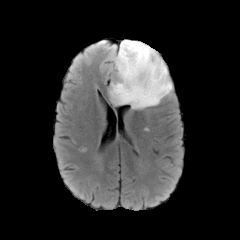
FLAIR MR image.
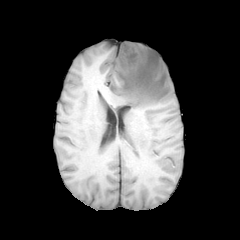
Same slice, T1-weighted MR.
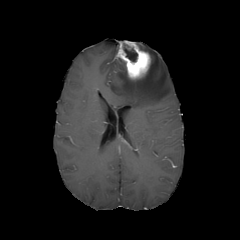
Post-contrast T1-weighted MR image.
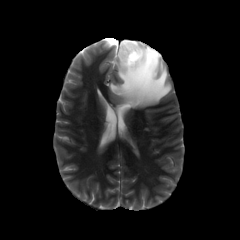
T2-weighted MR image of the same slice.
Head; 240x240
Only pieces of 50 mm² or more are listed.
peritumoral edema at bbox=[109, 43, 172, 109]
enhancing tumor at bbox=[115, 40, 151, 79]
necrotic tumor core at bbox=[124, 44, 137, 61]